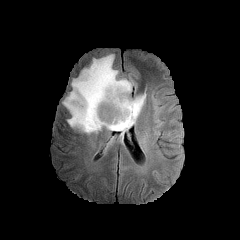
FLAIR MR.
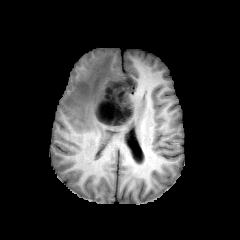
Same slice, T1-weighted MR.
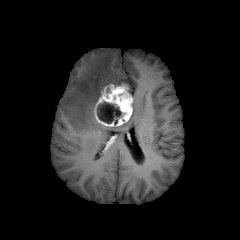
Post-contrast T1-weighted magnetic resonance.
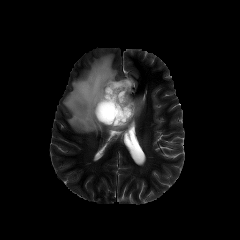
Same slice, T2-weighted magnetic resonance.
Image size 240x240 | Axial slice
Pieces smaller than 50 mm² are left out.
enhancing tumor: bounding box 94:82:133:126
peritumoral edema: bounding box 63:54:145:137
necrotic tumor core: bounding box 97:102:121:123